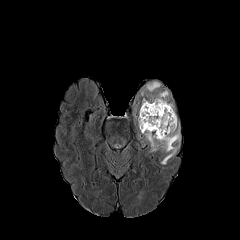
FLAIR magnetic resonance.
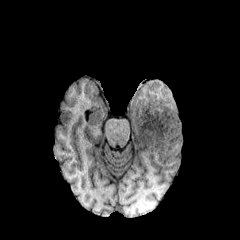
T1-weighted MRI of the same slice.
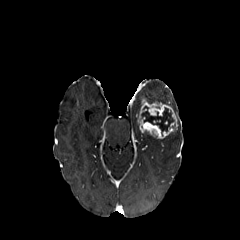
Same slice, post-contrast T1-weighted magnetic resonance.
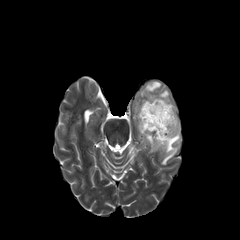
T2-weighted MR.
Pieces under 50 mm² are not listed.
The largest enhancing tumor region is bounded by <box>137,98,177,138</box>. The peritumoral edema is bounded by <box>134,81,180,164</box>. The largest necrotic tumor core region is located at <box>141,106,173,132</box>.